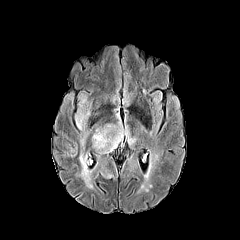
FLAIR magnetic resonance.
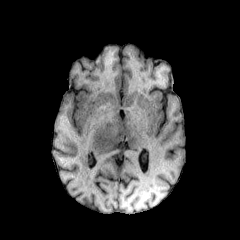
T1-weighted MR of the same slice.
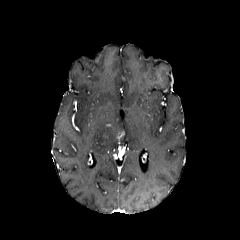
Post-contrast T1-weighted MRI.
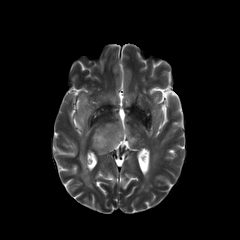
T2-weighted MR image.
Brain | 240x240
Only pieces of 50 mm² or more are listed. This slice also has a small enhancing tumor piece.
peritumoral edema: left=91, top=113, right=136, bottom=154; left=79, top=151, right=92, bottom=188; left=76, top=112, right=89, bottom=129